FLAIR MR.
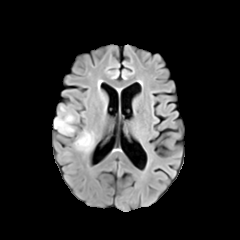
T1-weighted MR image.
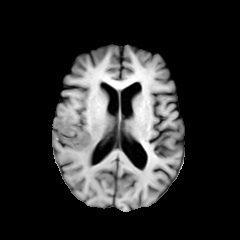
Post-contrast T1-weighted MR image.
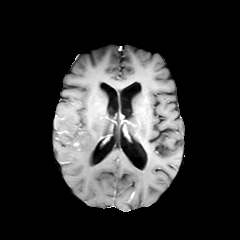
T2-weighted MRI.
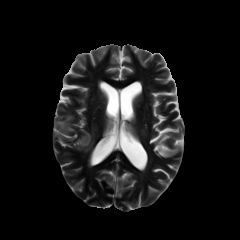
Brain
Findings:
- peritumoral edema: x1=74 y1=130 x2=94 y2=152, x1=54 y1=114 x2=74 y2=134